FLAIR MRI.
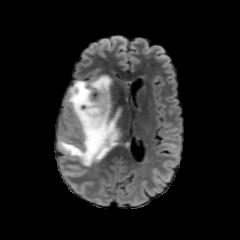
T1-weighted MRI.
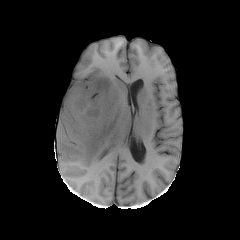
Post-contrast T1-weighted MR image.
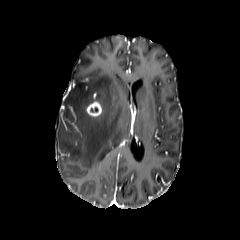
T2-weighted MR image.
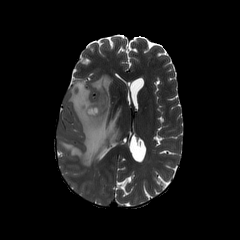
Brain | Axial plane
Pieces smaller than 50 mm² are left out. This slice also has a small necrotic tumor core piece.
peritumoral_edema:
  - x1=58 y1=75 x2=123 y2=166
enhancing_tumor:
  - x1=86 y1=101 x2=102 y2=117